Head; Image width 240 mm, 1.00 mm slice spacing
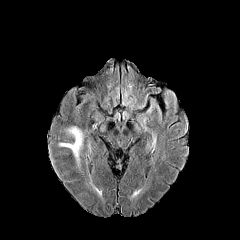
FLAIR MR image.
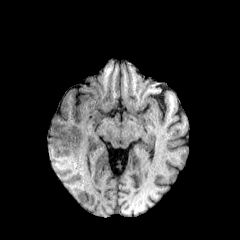
T1-weighted MR.
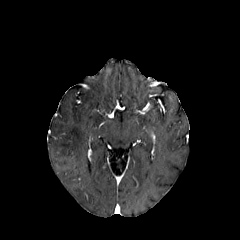
Post-contrast T1-weighted magnetic resonance.
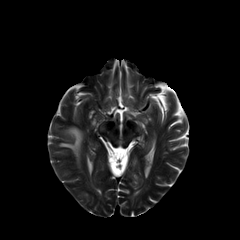
Same slice, T2-weighted MR.
peritumoral_edema:
  - left=59, top=127, right=82, bottom=160